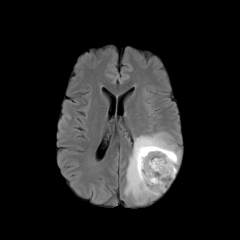
FLAIR MRI.
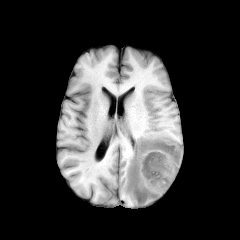
T1-weighted MRI of the same slice.
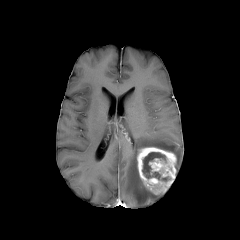
Post-contrast T1-weighted MRI of the same slice.
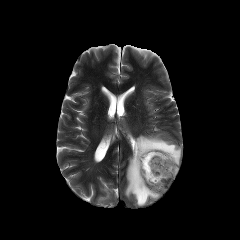
Same slice, T2-weighted MRI.
240x240 px. Axial slice.
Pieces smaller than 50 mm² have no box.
peritumoral edema: x1=124 y1=132 x2=182 y2=205 | enhancing tumor: x1=137 y1=147 x2=176 y2=194 | necrotic tumor core: x1=142 y1=152 x2=165 y2=179